FLAIR MRI.
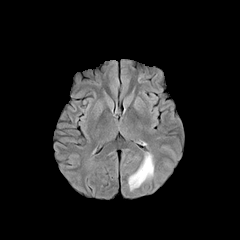
T1-weighted MR.
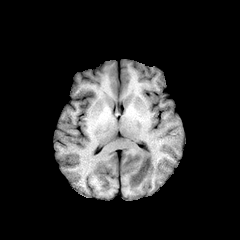
Post-contrast T1-weighted MR image.
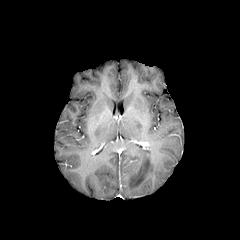
T2-weighted MRI.
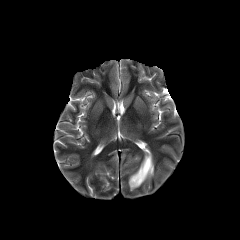
Head.
peritumoral_edema:
  - rect(128, 152, 154, 190)